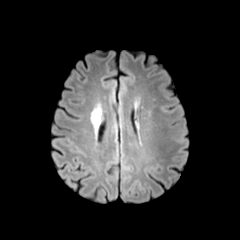
FLAIR magnetic resonance.
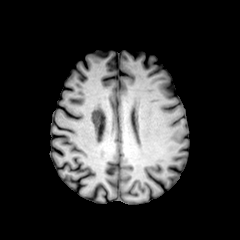
Same slice, T1-weighted magnetic resonance.
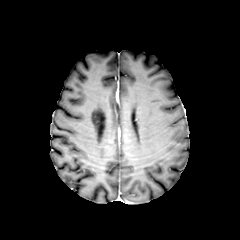
Post-contrast T1-weighted MR.
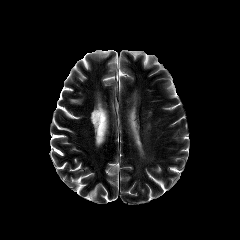
T2-weighted MR image of the same slice.
Brain.
- peritumoral edema: (x1=91, y1=105, x2=103, y2=131)